Brain, 240x240, Slice 79 of 155, Image width 240 mm, 1.00 mm slice spacing
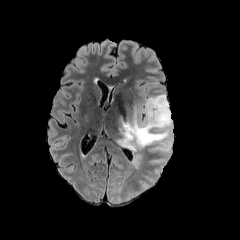
FLAIR MR image.
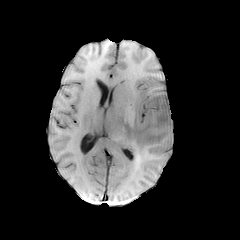
T1-weighted MRI of the same slice.
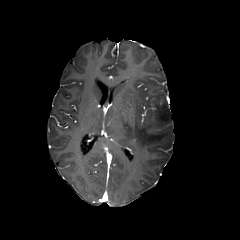
Post-contrast T1-weighted magnetic resonance of the same slice.
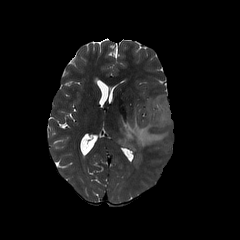
T2-weighted MR.
peritumoral edema at x1=132 y1=155 x2=141 y2=168, x1=150 y1=159 x2=165 y2=163, x1=116 y1=94 x2=172 y2=153